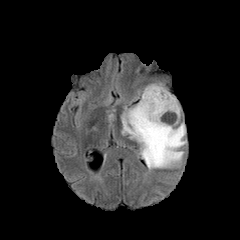
FLAIR magnetic resonance.
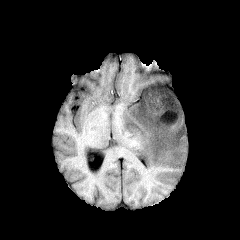
T1-weighted MR image.
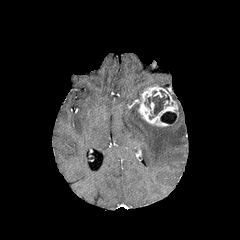
Post-contrast T1-weighted magnetic resonance.
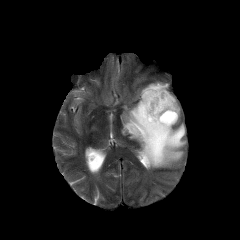
T2-weighted magnetic resonance.
240x240, Axial plane
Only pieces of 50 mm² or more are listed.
peritumoral edema: (121,103,186,169)
enhancing tumor: (138,84,178,126)
necrotic tumor core: (160,111,177,124), (147,90,169,115)